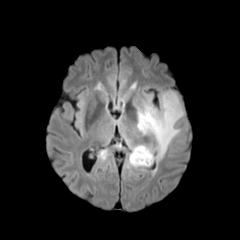
FLAIR magnetic resonance.
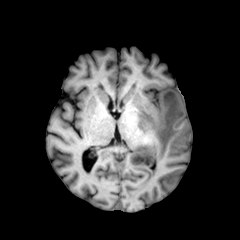
Same slice, T1-weighted magnetic resonance.
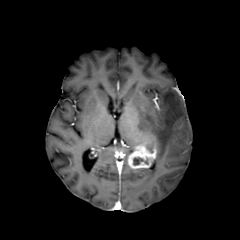
Same slice, post-contrast T1-weighted MR.
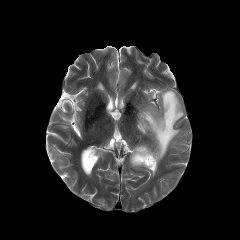
Same slice, T2-weighted MR image.
Brain
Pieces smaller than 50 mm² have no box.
enhancing tumor: x1=128 y1=145 x2=156 y2=168
peritumoral edema: x1=137 y1=90 x2=183 y2=162
necrotic tumor core: x1=133 y1=157 x2=143 y2=165